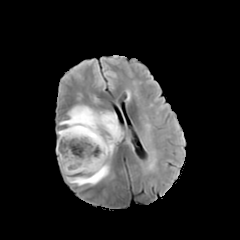
FLAIR magnetic resonance.
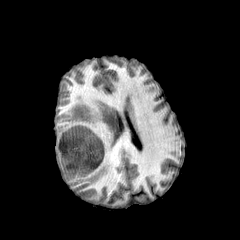
T1-weighted MR of the same slice.
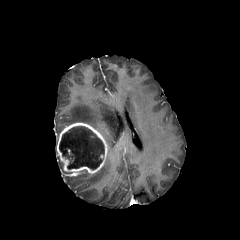
Post-contrast T1-weighted MRI of the same slice.
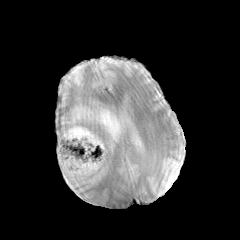
T2-weighted magnetic resonance.
Axial slice. Brain.
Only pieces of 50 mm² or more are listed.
enhancing tumor = left=56, top=122, right=108, bottom=176
peritumoral edema = left=59, top=105, right=122, bottom=185
necrotic tumor core = left=59, top=126, right=104, bottom=169